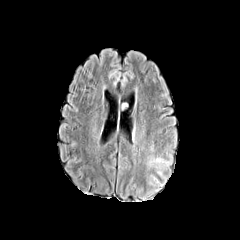
FLAIR MR.
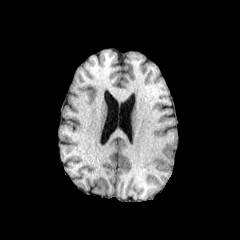
T1-weighted MRI.
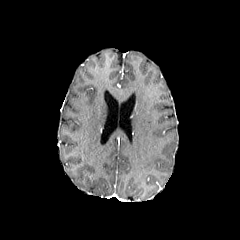
Post-contrast T1-weighted MRI.
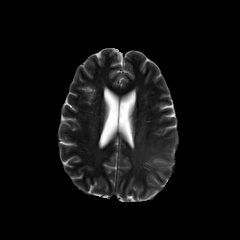
T2-weighted MRI of the same slice.
Axial slice | Brain
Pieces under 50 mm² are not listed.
The largest peritumoral edema region lies within (147,157,170,167).